FLAIR MRI.
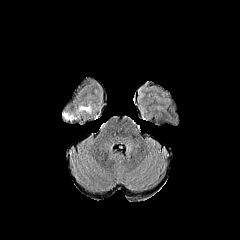
T1-weighted MR.
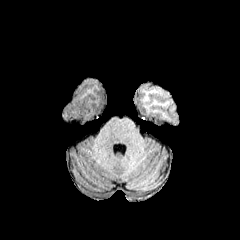
Post-contrast T1-weighted MRI.
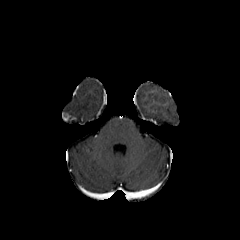
T2-weighted MR image.
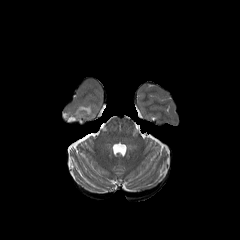
Axial plane | Head
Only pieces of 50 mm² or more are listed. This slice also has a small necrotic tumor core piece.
The largest peritumoral edema region is at rect(75, 101, 92, 118). The largest enhancing tumor region is bounded by rect(62, 113, 70, 121).